FLAIR magnetic resonance.
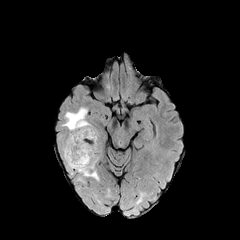
T1-weighted MRI.
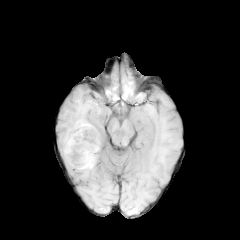
Post-contrast T1-weighted MR.
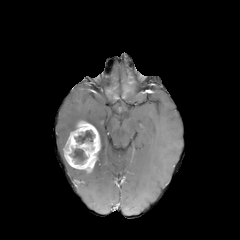
T2-weighted magnetic resonance.
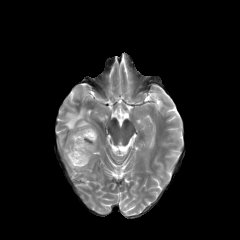
Axial plane.
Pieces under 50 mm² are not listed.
{"enhancing_tumor": ["rect(63, 121, 100, 172)"], "peritumoral_edema": ["rect(62, 107, 91, 132)", "rect(75, 168, 98, 182)"], "necrotic_tumor_core": ["rect(72, 148, 87, 163)", "rect(75, 130, 93, 143)"]}